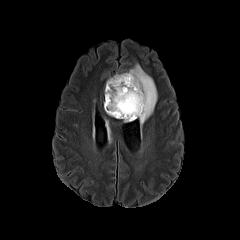
FLAIR MRI.
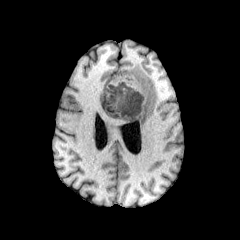
Same slice, T1-weighted MRI.
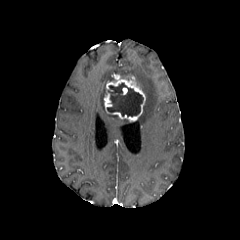
Post-contrast T1-weighted MRI.
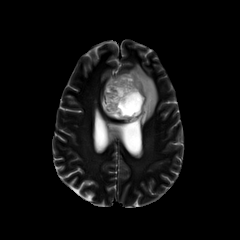
T2-weighted magnetic resonance.
Brain
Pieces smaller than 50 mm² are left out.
necrotic tumor core = 107, 83, 143, 116
peritumoral edema = 120, 63, 157, 125
enhancing tumor = 105, 74, 145, 121